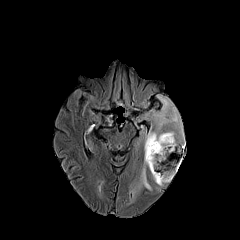
FLAIR MR.
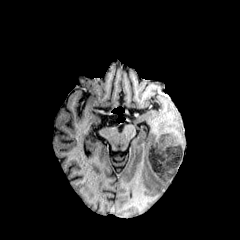
Same slice, T1-weighted magnetic resonance.
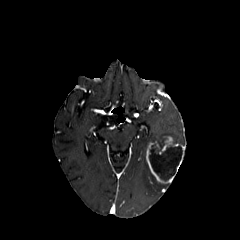
Same slice, post-contrast T1-weighted MRI.
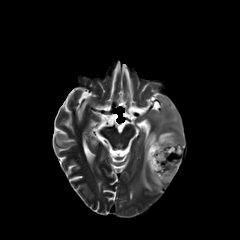
T2-weighted MR image.
240x240
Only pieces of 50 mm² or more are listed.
Segmented structures:
• peritumoral edema: left=152, top=175, right=164, bottom=190; left=138, top=97, right=184, bottom=190
• enhancing tumor: left=146, top=141, right=174, bottom=183; left=159, top=136, right=179, bottom=154
• necrotic tumor core: left=149, top=140, right=182, bottom=180